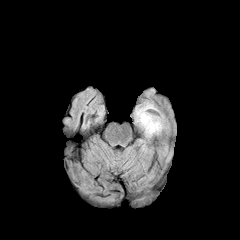
FLAIR MR image.
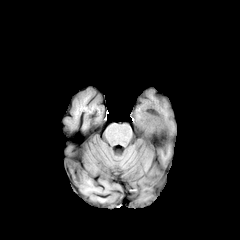
Same slice, T1-weighted MR image.
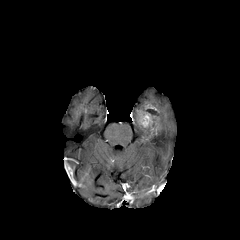
Same slice, post-contrast T1-weighted magnetic resonance.
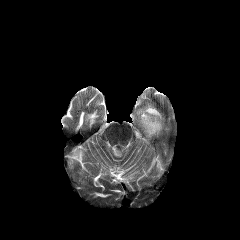
T2-weighted MR of the same slice.
Image size 240x240
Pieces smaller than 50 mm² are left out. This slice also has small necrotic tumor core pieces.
- enhancing tumor: rect(137, 110, 160, 139)
- peritumoral edema: rect(157, 111, 166, 134); rect(134, 102, 153, 142)